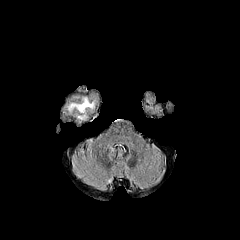
FLAIR MR image.
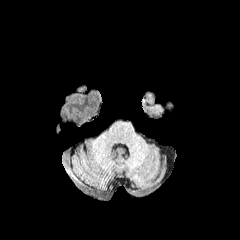
Same slice, T1-weighted MR image.
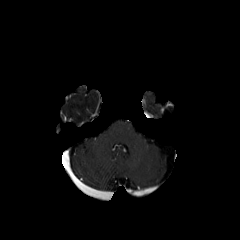
Post-contrast T1-weighted MR image.
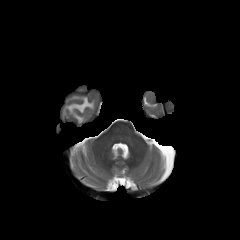
Same slice, T2-weighted magnetic resonance.
Head. Axial plane.
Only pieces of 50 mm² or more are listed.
The largest peritumoral edema region is at rect(68, 98, 94, 112).